FLAIR MRI.
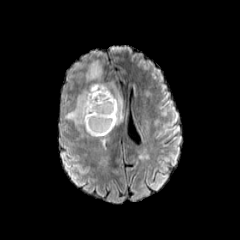
T1-weighted MRI.
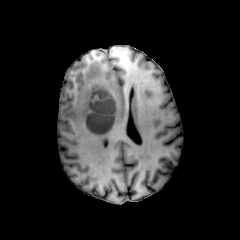
Post-contrast T1-weighted MR.
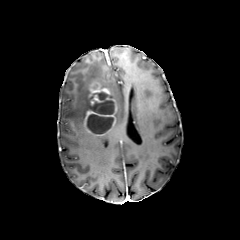
T2-weighted magnetic resonance.
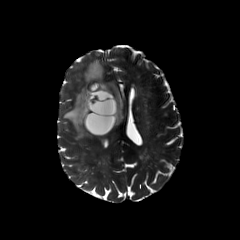
240x240
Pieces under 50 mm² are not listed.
2 necrotic tumor core regions are bounded by <bbox>90, 92, 114, 114</bbox>, <bbox>87, 114, 113, 133</bbox>. The largest peritumoral edema region is at <bbox>64, 60, 123, 132</bbox>. The enhancing tumor is bounded by <bbox>84, 81, 117, 136</bbox>.